Slice 139/155. Axial slice.
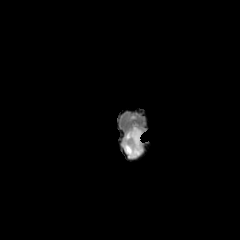
FLAIR MR image.
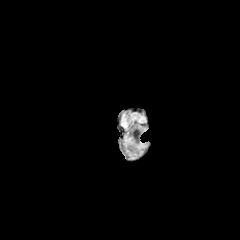
T1-weighted magnetic resonance of the same slice.
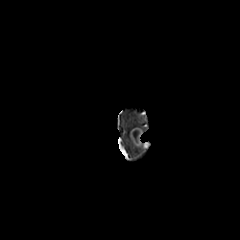
Post-contrast T1-weighted MRI.
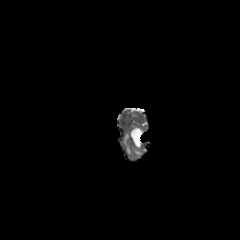
T2-weighted magnetic resonance.
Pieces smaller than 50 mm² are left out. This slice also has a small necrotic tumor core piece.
peritumoral edema: (123,130,143,157)
enhancing tumor: (130,127,144,146)